FLAIR MR image.
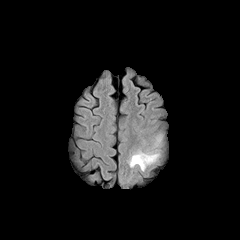
T1-weighted MRI.
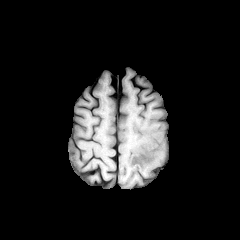
Post-contrast T1-weighted magnetic resonance.
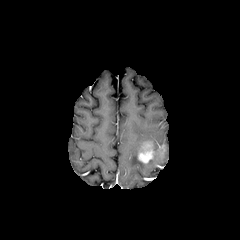
T2-weighted MR.
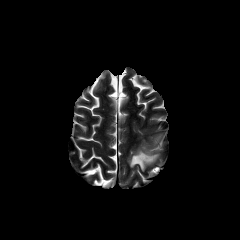
240x240; Head
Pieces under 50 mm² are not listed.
* enhancing tumor: box(138, 144, 154, 163)
* peritumoral edema: box(127, 134, 164, 171)